FLAIR MR image.
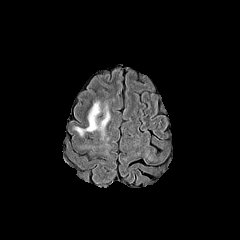
T1-weighted magnetic resonance.
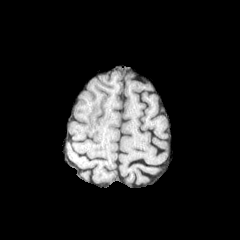
Post-contrast T1-weighted MR image.
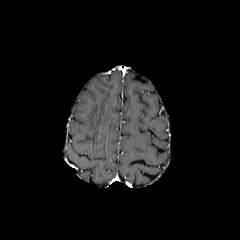
T2-weighted magnetic resonance.
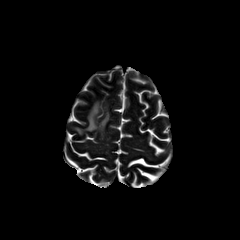
The peritumoral edema is located at <bbox>75, 102, 109, 135</bbox>.